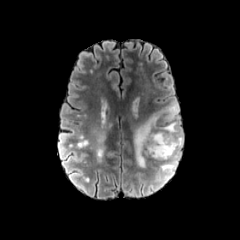
FLAIR MR image.
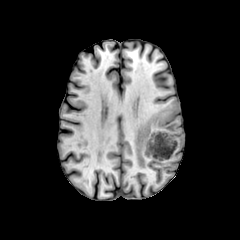
T1-weighted MRI.
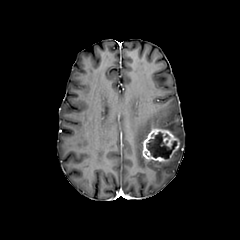
Post-contrast T1-weighted magnetic resonance of the same slice.
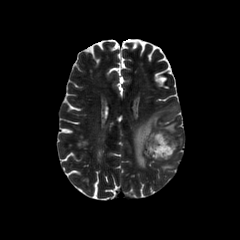
Same slice, T2-weighted magnetic resonance.
Head.
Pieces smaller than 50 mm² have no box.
Segmented structures:
• peritumoral edema: box=[134, 101, 183, 171]
• enhancing tumor: box=[142, 129, 179, 161]
• necrotic tumor core: box=[146, 132, 176, 158]